FLAIR MR image.
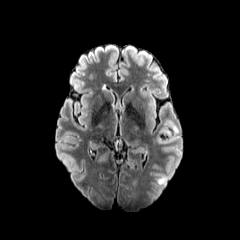
T1-weighted magnetic resonance.
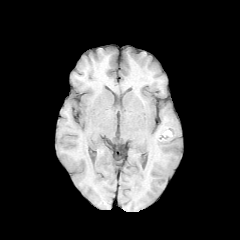
Post-contrast T1-weighted MRI.
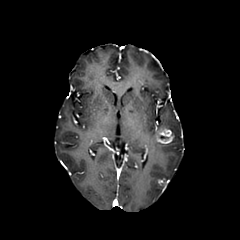
T2-weighted MRI.
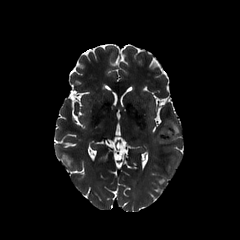
Image size 240x240
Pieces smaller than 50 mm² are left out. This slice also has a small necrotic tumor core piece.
2 peritumoral edema regions are located at left=159, top=120, right=179, bottom=140; left=157, top=175, right=166, bottom=185. The largest enhancing tumor region lies within left=157, top=129, right=173, bottom=143.